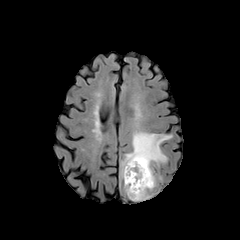
FLAIR MR.
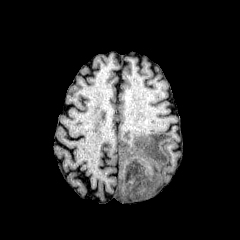
Same slice, T1-weighted MR.
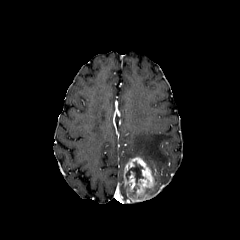
Same slice, post-contrast T1-weighted MRI.
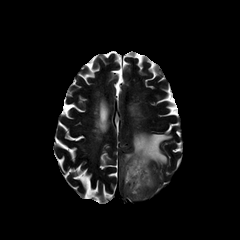
Same slice, T2-weighted magnetic resonance.
Image size 240x240
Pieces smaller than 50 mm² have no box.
enhancing tumor — bbox(123, 156, 156, 201)
peritumoral edema — bbox(120, 131, 172, 177)
necrotic tumor core — bbox(126, 162, 143, 183)